Slice index 116. Axial view. 240x240.
FLAIR MRI.
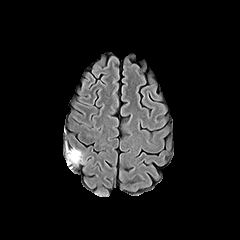
T1-weighted MR image.
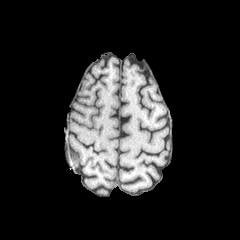
Post-contrast T1-weighted MR.
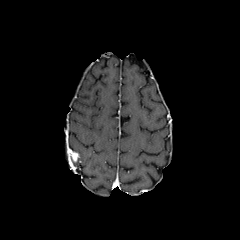
T2-weighted MR image.
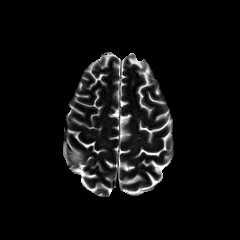
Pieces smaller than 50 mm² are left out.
{
  "enhancing_tumor": [
    "[70,150,79,162]"
  ],
  "peritumoral_edema": [
    "[72,148,82,163]"
  ]
}